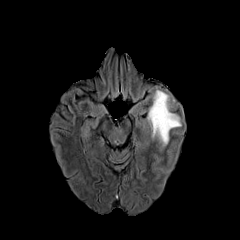
FLAIR MR.
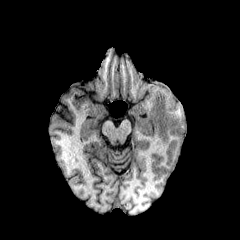
Same slice, T1-weighted MRI.
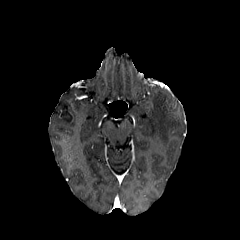
Post-contrast T1-weighted MR.
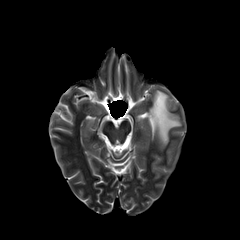
T2-weighted magnetic resonance.
Image size 240x240. Axial plane.
peritumoral_edema:
  - rect(147, 90, 181, 146)